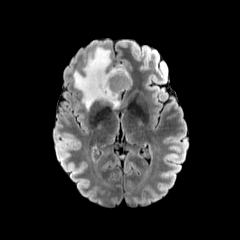
FLAIR MRI.
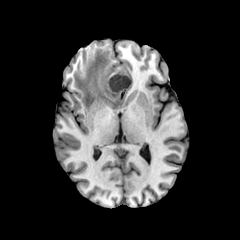
T1-weighted MR image.
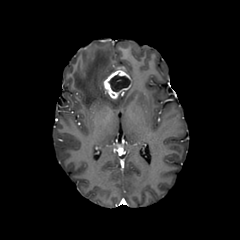
Post-contrast T1-weighted MR.
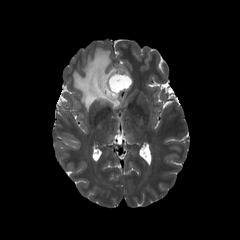
T2-weighted MR.
Brain, 240x240 px
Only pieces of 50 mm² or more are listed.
The enhancing tumor is bounded by [x1=103, y1=66, x2=131, y2=99]. The largest peritumoral edema region is located at [x1=73, y1=47, x2=120, y2=109]. The necrotic tumor core is located at [x1=109, y1=75, x2=130, y2=91].